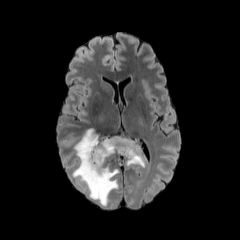
FLAIR MR.
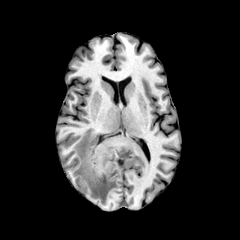
T1-weighted MRI.
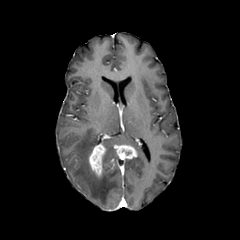
Post-contrast T1-weighted magnetic resonance.
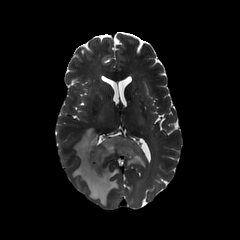
Same slice, T2-weighted MRI.
Axial slice.
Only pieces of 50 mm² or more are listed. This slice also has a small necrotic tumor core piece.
Findings:
- peritumoral edema: l=72, t=128, r=118, b=206; l=100, t=137, r=144, b=166
- enhancing tumor: l=89, t=144, r=105, b=177; l=114, t=145, r=137, b=159